Slice index 90 | 240x240 | Brain
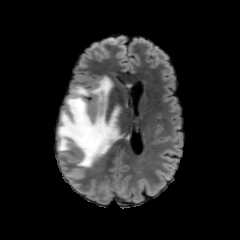
FLAIR MR.
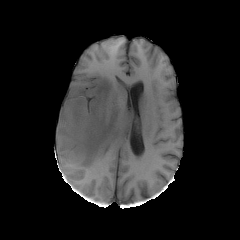
Same slice, T1-weighted MRI.
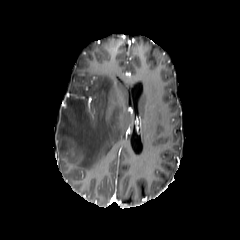
Post-contrast T1-weighted MR image.
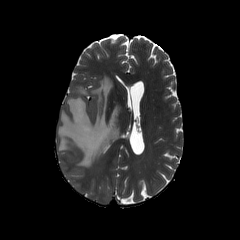
T2-weighted MRI.
<segmentation>
  <peritumoral_edema>[x1=58, y1=76, x2=122, y2=167]</peritumoral_edema>
</segmentation>